Slice 63/155, Axial view
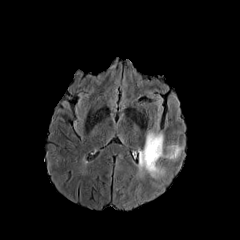
FLAIR magnetic resonance.
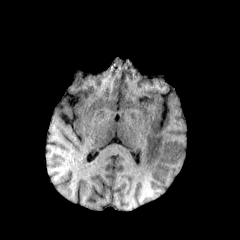
T1-weighted MR image.
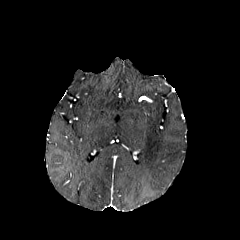
Post-contrast T1-weighted magnetic resonance.
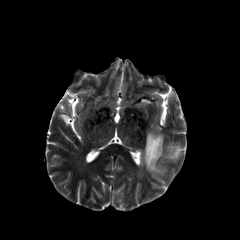
T2-weighted MR image of the same slice.
peritumoral edema at 144, 132, 181, 176